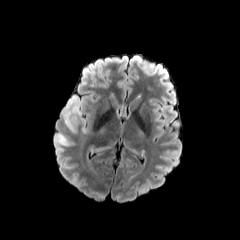
FLAIR MR.
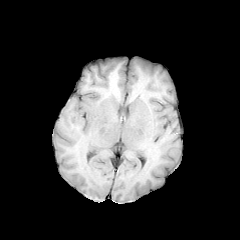
T1-weighted MR image.
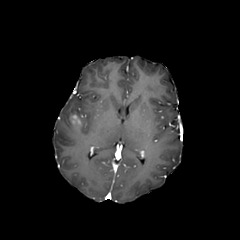
Same slice, post-contrast T1-weighted magnetic resonance.
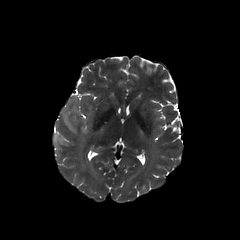
T2-weighted MRI.
Head
The enhancing tumor is bounded by 70 114 80 129. 2 peritumoral edema regions are located at 59 135 69 145, 64 101 76 131.